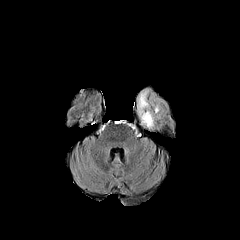
FLAIR MR image.
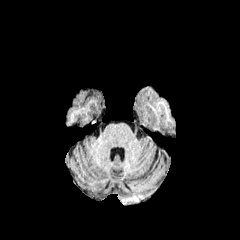
T1-weighted MR image.
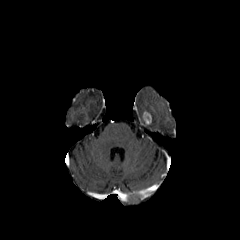
Post-contrast T1-weighted MRI.
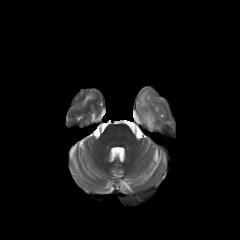
T2-weighted MR.
240x240 px. Brain.
enhancing tumor — [142,111,151,124]
peritumoral edema — [136,90,161,129]